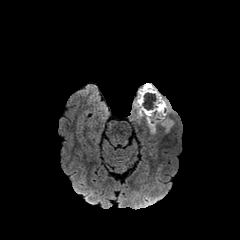
FLAIR magnetic resonance.
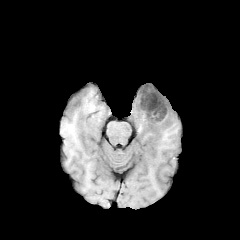
Same slice, T1-weighted MR.
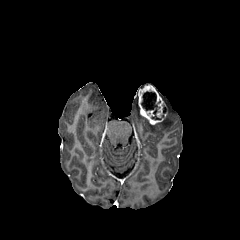
Post-contrast T1-weighted MR image.
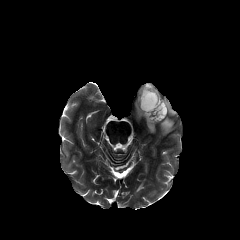
T2-weighted MR image.
Image size 240x240. Axial view.
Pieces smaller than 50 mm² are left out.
{
  "necrotic_tumor_core": [
    {"x1": 141, "y1": 91, "x2": 163, "y2": 119}
  ],
  "enhancing_tumor": [
    {"x1": 138, "y1": 84, "x2": 167, "y2": 124}
  ],
  "peritumoral_edema": [
    {"x1": 160, "y1": 114, "x2": 174, "y2": 132},
    {"x1": 133, "y1": 96, "x2": 142, "y2": 121},
    {"x1": 162, "y1": 97, "x2": 176, "y2": 114},
    {"x1": 146, "y1": 119, "x2": 156, "y2": 133}
  ]
}